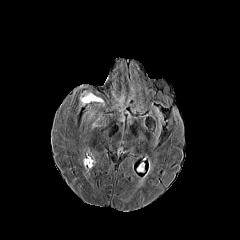
FLAIR magnetic resonance.
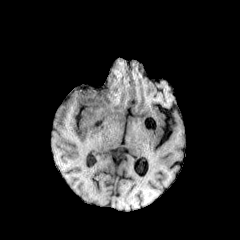
T1-weighted MR of the same slice.
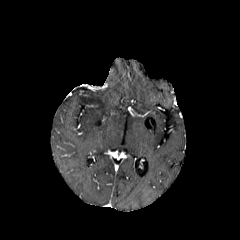
Post-contrast T1-weighted MR image.
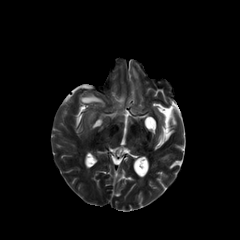
T2-weighted MR.
Head. Axial slice.
<segmentation>
  <peritumoral_edema>left=81, top=93, right=102, bottom=103</peritumoral_edema>
</segmentation>